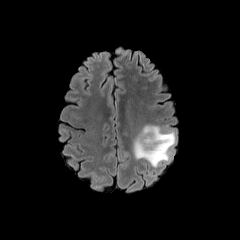
FLAIR MR image.
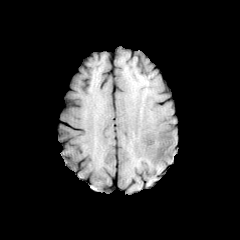
T1-weighted MRI.
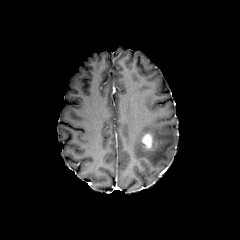
Post-contrast T1-weighted magnetic resonance.
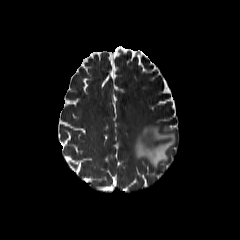
T2-weighted MR image.
Brain. 240x240. Axial plane.
<segmentation>
  <peritumoral_edema>(x1=133, y1=125, x2=176, y2=167)</peritumoral_edema>
  <enhancing_tumor>(x1=141, y1=133, x2=153, y2=149)</enhancing_tumor>
</segmentation>